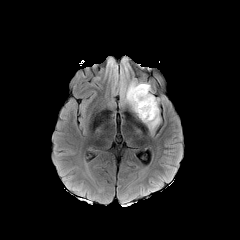
FLAIR MR.
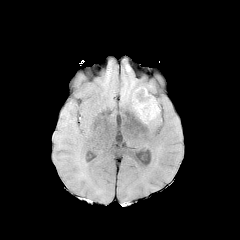
T1-weighted MRI.
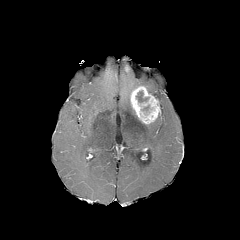
Post-contrast T1-weighted MR image of the same slice.
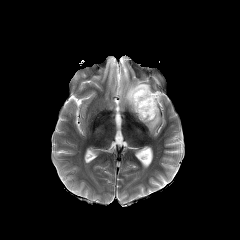
T2-weighted MRI.
Axial plane. Brain.
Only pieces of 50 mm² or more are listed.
peritumoral edema: bounding box (x1=120, y1=81, x2=151, y2=111), (x1=147, y1=111, x2=160, y2=131)
necrotic tumor core: bounding box (x1=136, y1=90, x2=149, y2=103), (x1=141, y1=104, x2=152, y2=114)
enhancing tumor: bounding box (x1=130, y1=86, x2=159, y2=124)